FLAIR magnetic resonance.
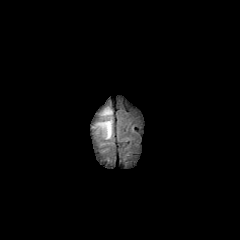
T1-weighted MRI.
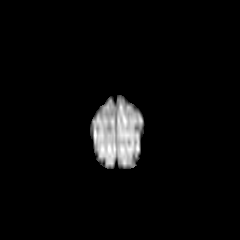
Post-contrast T1-weighted MRI.
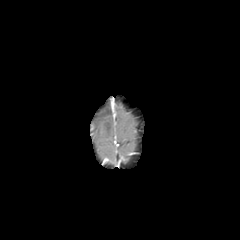
T2-weighted MR.
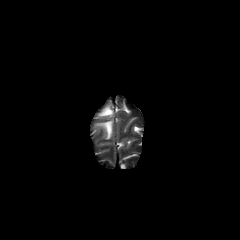
Axial view, Head
peritumoral edema at [96, 107, 112, 139]